FLAIR magnetic resonance.
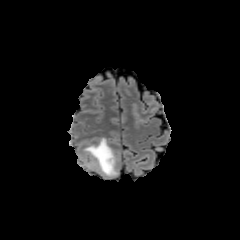
T1-weighted MRI.
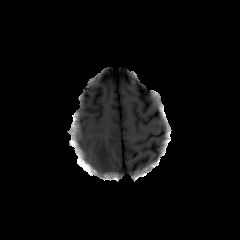
Post-contrast T1-weighted magnetic resonance.
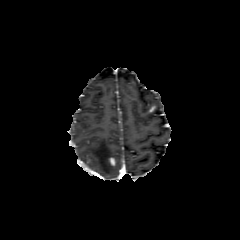
T2-weighted MR image.
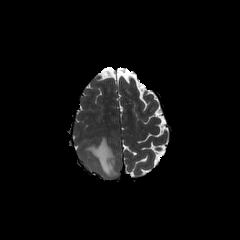
Head
<segmentation>
  <enhancing_tumor>left=108, top=157, right=115, bottom=165</enhancing_tumor>
  <peritumoral_edema>left=84, top=137, right=117, bottom=177</peritumoral_edema>
</segmentation>